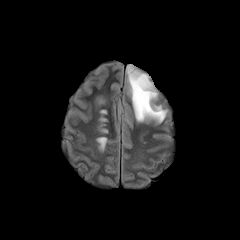
FLAIR MRI.
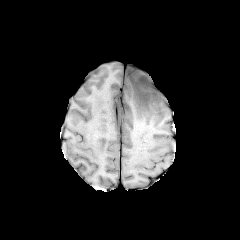
T1-weighted MRI.
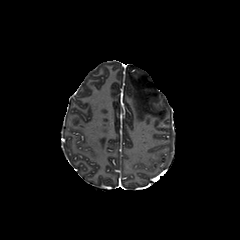
Same slice, post-contrast T1-weighted MRI.
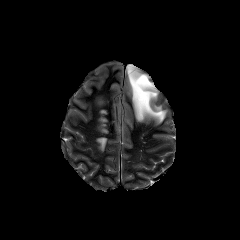
T2-weighted MRI of the same slice.
Axial plane. Image size 240x240.
peritumoral edema at 127,65,166,123